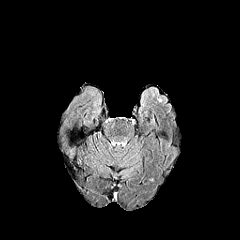
FLAIR MR.
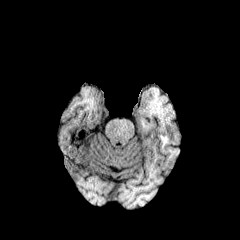
T1-weighted MR image.
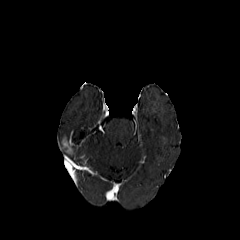
Same slice, post-contrast T1-weighted MR image.
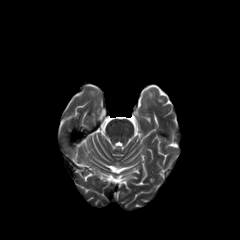
T2-weighted MR image.
Head; Axial slice
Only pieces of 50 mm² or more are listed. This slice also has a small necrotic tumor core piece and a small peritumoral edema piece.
{
  "enhancing_tumor": [
    "[x1=61, y1=137, x2=73, y2=154]"
  ]
}